FLAIR MR image.
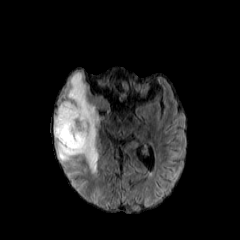
T1-weighted MR.
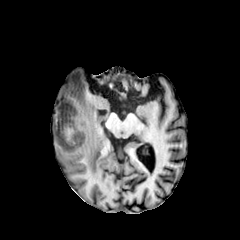
Post-contrast T1-weighted magnetic resonance.
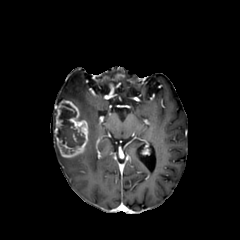
T2-weighted MR image.
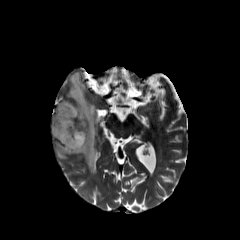
Image size 240x240.
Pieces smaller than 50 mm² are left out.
<segmentation>
  <peritumoral_edema>region(66, 72, 98, 174); region(56, 142, 75, 163)</peritumoral_edema>
  <necrotic_tumor_core>region(57, 103, 84, 148)</necrotic_tumor_core>
  <enhancing_tumor>region(54, 100, 88, 157)</enhancing_tumor>
</segmentation>